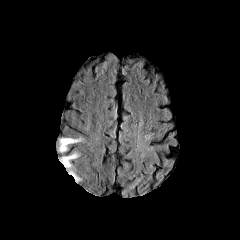
FLAIR MRI.
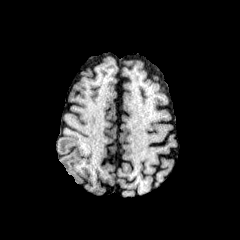
T1-weighted MR.
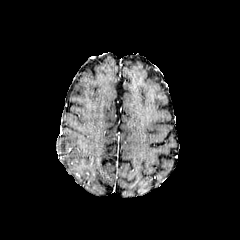
Post-contrast T1-weighted MR.
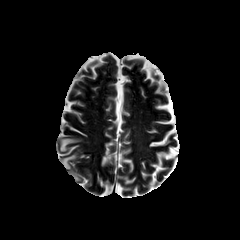
T2-weighted MR image.
Axial slice, 240x240, Head
3 peritumoral edema regions are located at box(59, 138, 82, 151); box(69, 170, 80, 181); box(60, 153, 78, 169).